Head, Slice 81 of 155, 240x240 px
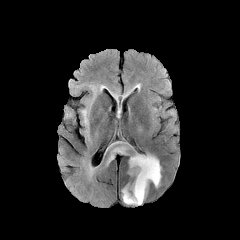
FLAIR magnetic resonance.
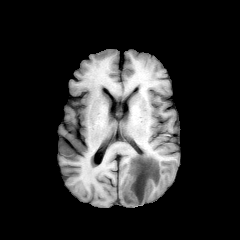
Same slice, T1-weighted magnetic resonance.
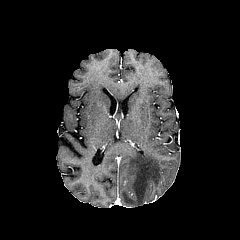
Post-contrast T1-weighted MR image.
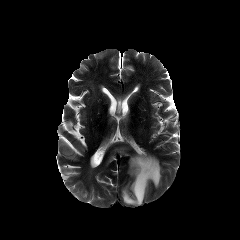
T2-weighted MRI.
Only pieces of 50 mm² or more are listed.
The 3 largest peritumoral edema regions are bounded by 122, 154, 161, 205; 81, 109, 87, 122; 105, 155, 114, 166.